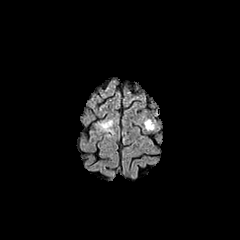
FLAIR MRI.
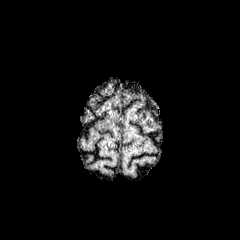
T1-weighted magnetic resonance.
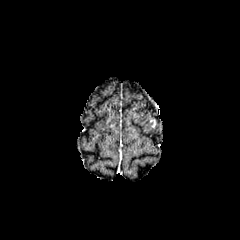
Same slice, post-contrast T1-weighted MR image.
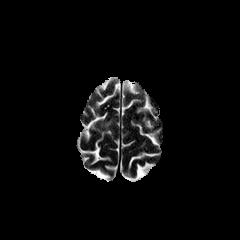
T2-weighted MR.
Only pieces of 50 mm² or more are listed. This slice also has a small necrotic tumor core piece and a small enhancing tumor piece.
<segmentation>
  <peritumoral_edema>99,119,113,133; 144,119,154,130</peritumoral_edema>
</segmentation>